FLAIR MR image.
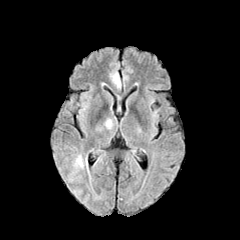
T1-weighted MR image.
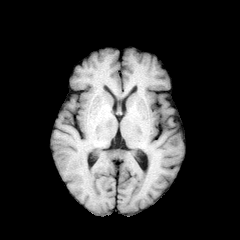
Post-contrast T1-weighted MR image.
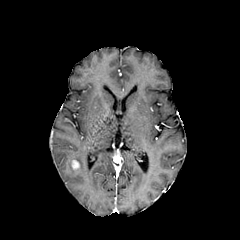
T2-weighted MR.
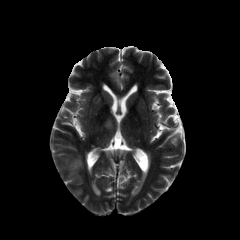
Axial slice, Brain
{
  "enhancing_tumor": [
    "[x1=72, y1=160, x2=79, y2=168]"
  ],
  "peritumoral_edema": [
    "[x1=69, y1=154, x2=83, y2=180]",
    "[x1=112, y1=74, x2=120, y2=85]"
  ]
}